240x240 px | Head
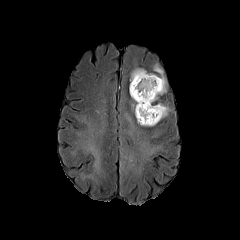
FLAIR MR.
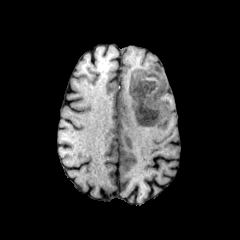
T1-weighted MR of the same slice.
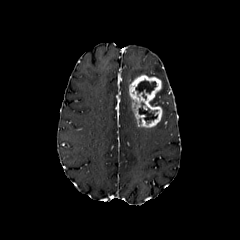
Same slice, post-contrast T1-weighted MRI.
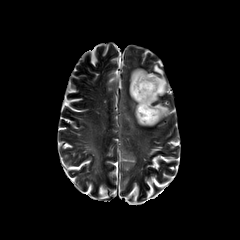
T2-weighted MR.
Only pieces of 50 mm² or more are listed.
* necrotic tumor core: (139, 103, 157, 121), (135, 80, 156, 93)
* enhancing tumor: (129, 74, 162, 127)
* peritumoral edema: (154, 103, 170, 118), (130, 65, 166, 104)